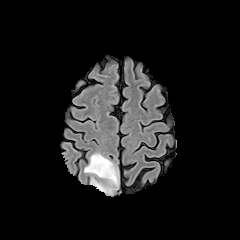
FLAIR MR image.
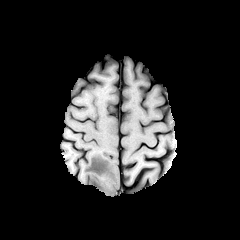
T1-weighted MR.
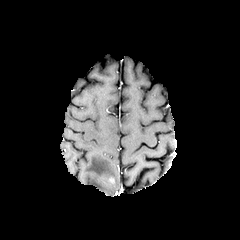
Post-contrast T1-weighted MRI.
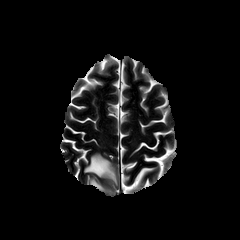
T2-weighted magnetic resonance.
240x240
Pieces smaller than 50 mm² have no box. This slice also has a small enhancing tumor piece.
peritumoral edema = 84,153,117,193